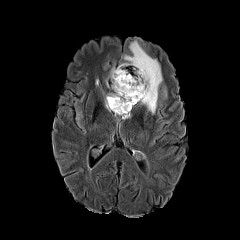
FLAIR MR image.
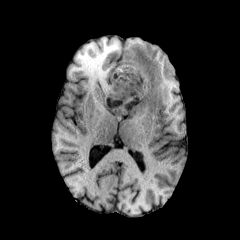
T1-weighted magnetic resonance.
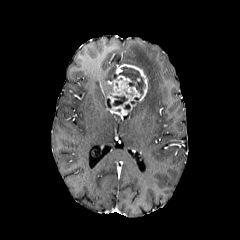
Post-contrast T1-weighted magnetic resonance.
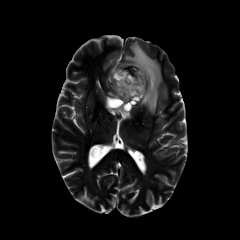
Same slice, T2-weighted MR image.
Head.
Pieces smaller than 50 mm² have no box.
enhancing tumor: bbox=[105, 64, 147, 117] | necrotic tumor core: bbox=[119, 67, 144, 94]; bbox=[113, 96, 127, 105] | peritumoral edema: bbox=[122, 41, 162, 114]